FLAIR MR image.
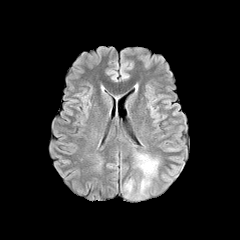
T1-weighted MRI.
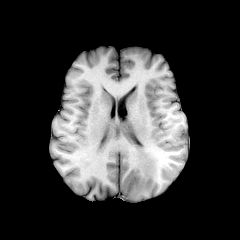
Post-contrast T1-weighted magnetic resonance.
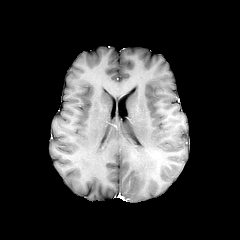
T2-weighted MR.
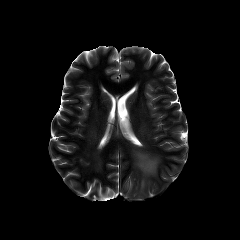
2 peritumoral edema regions are bounded by {"x1": 136, "y1": 153, "x2": 158, "y2": 192}, {"x1": 125, "y1": 179, "x2": 133, "y2": 192}.